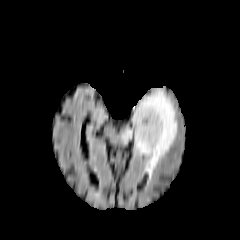
FLAIR MR image.
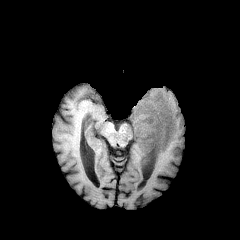
T1-weighted MRI.
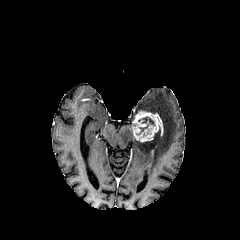
Post-contrast T1-weighted MR image.
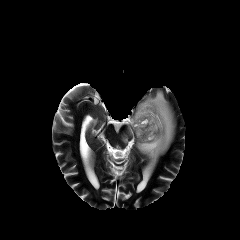
T2-weighted MRI of the same slice.
Brain
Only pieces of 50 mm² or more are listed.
enhancing tumor — {"x1": 129, "y1": 110, "x2": 163, "y2": 142}
necrotic tumor core — {"x1": 142, "y1": 117, "x2": 153, "y2": 124}
peritumoral edema — {"x1": 121, "y1": 89, "x2": 176, "y2": 168}